Axial plane | Image size 240x240
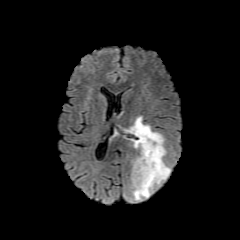
FLAIR MRI.
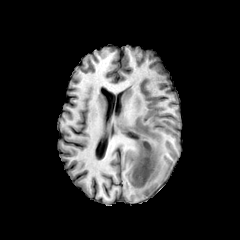
Same slice, T1-weighted MR.
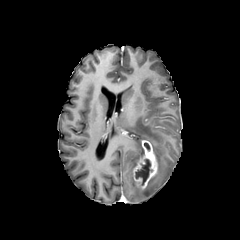
Post-contrast T1-weighted magnetic resonance.
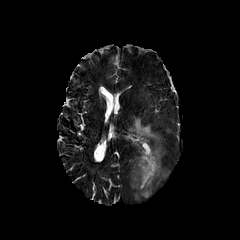
T2-weighted magnetic resonance of the same slice.
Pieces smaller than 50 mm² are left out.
{"necrotic_tumor_core": ["x1=135, y1=159, x2=152, y2=185"], "peritumoral_edema": ["x1=127, y1=116, x2=170, y2=200"], "enhancing_tumor": ["x1=132, y1=140, x2=158, y2=189"]}